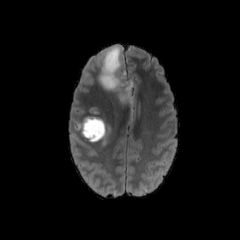
FLAIR MRI.
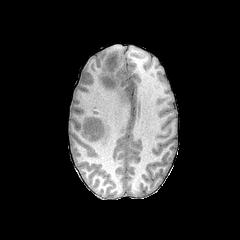
T1-weighted magnetic resonance.
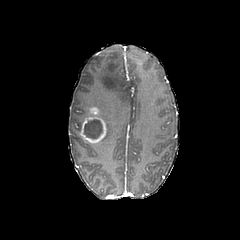
Post-contrast T1-weighted MR.
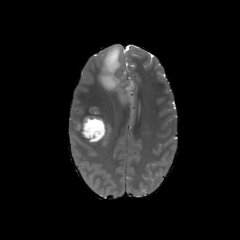
Same slice, T2-weighted MR image.
Head
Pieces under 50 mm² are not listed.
The enhancing tumor appears at bbox=[79, 106, 106, 143]. The necrotic tumor core appears at bbox=[84, 120, 102, 138]. The 3 largest peritumoral edema regions are bounded by bbox=[97, 46, 137, 125]; bbox=[86, 110, 111, 147]; bbox=[70, 110, 87, 140].